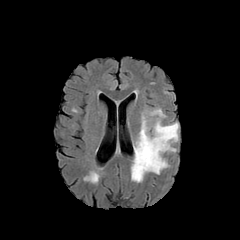
FLAIR magnetic resonance.
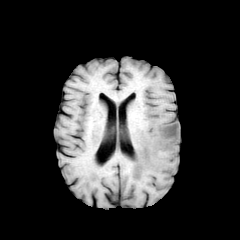
T1-weighted MRI.
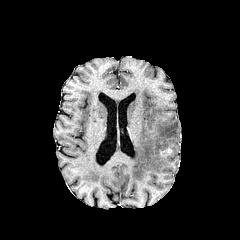
Post-contrast T1-weighted magnetic resonance of the same slice.
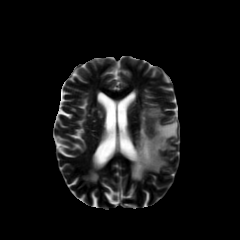
T2-weighted MRI.
240x240 | Brain
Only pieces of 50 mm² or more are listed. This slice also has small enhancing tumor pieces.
<segmentation>
  <peritumoral_edema>(131,108,178,181)</peritumoral_edema>
</segmentation>